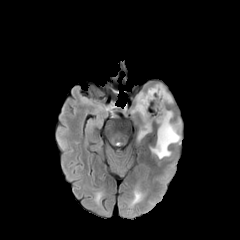
FLAIR magnetic resonance.
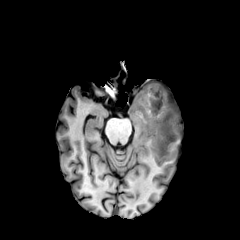
T1-weighted MRI of the same slice.
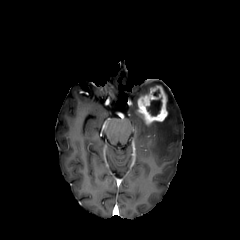
Post-contrast T1-weighted MRI.
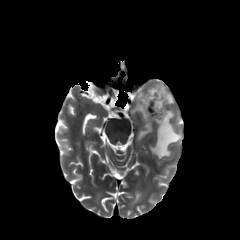
T2-weighted MR.
Head
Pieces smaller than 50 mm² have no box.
peritumoral edema: x1=163, y1=87, x2=172, y2=103; x1=151, y1=110, x2=180, y2=158; x1=138, y1=124, x2=151, y2=140 | necrotic tumor core: x1=146, y1=98, x2=161, y2=115 | enhancing tumor: x1=137, y1=85, x2=167, y2=125